Brain.
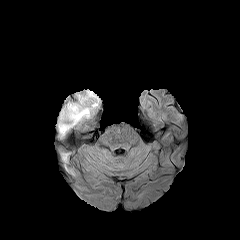
FLAIR magnetic resonance.
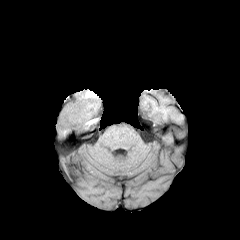
Same slice, T1-weighted magnetic resonance.
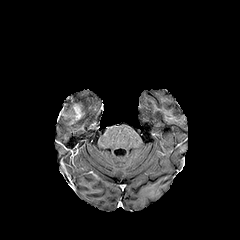
Post-contrast T1-weighted MRI.
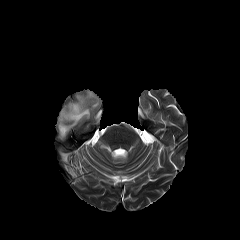
Same slice, T2-weighted magnetic resonance.
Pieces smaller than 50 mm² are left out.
peritumoral edema — bbox=[58, 95, 99, 137]
enhancing tumor — bbox=[59, 103, 84, 124]